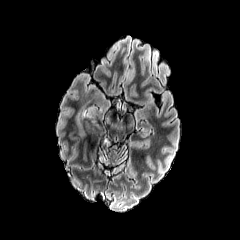
FLAIR MRI.
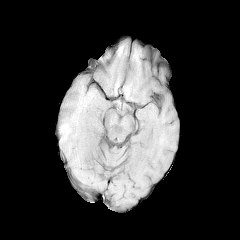
Same slice, T1-weighted MRI.
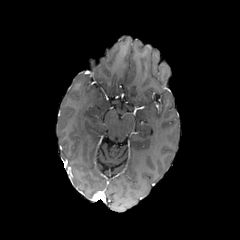
Post-contrast T1-weighted MR image.
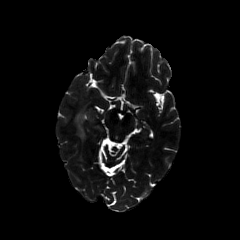
Same slice, T2-weighted MRI.
Axial plane | Image size 240x240
- peritumoral edema: box(75, 114, 85, 137)